FLAIR MR image.
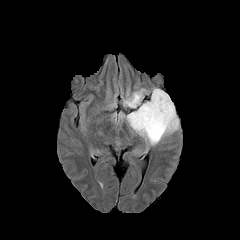
T1-weighted MR image.
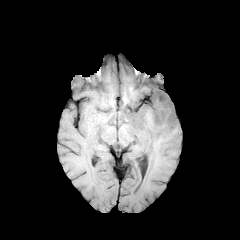
Post-contrast T1-weighted magnetic resonance.
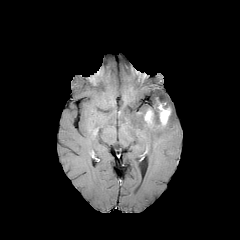
T2-weighted MR image.
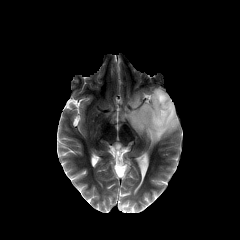
Head
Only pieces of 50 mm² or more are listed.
<segmentation>
  <enhancing_tumor>region(144, 97, 171, 129)</enhancing_tumor>
  <peritumoral_edema>region(121, 88, 179, 145)</peritumoral_edema>
</segmentation>